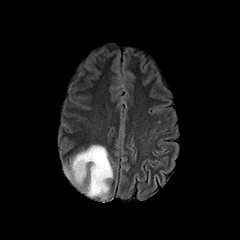
FLAIR magnetic resonance.
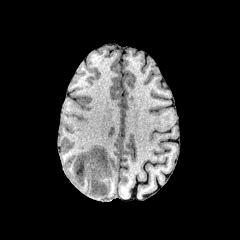
Same slice, T1-weighted MRI.
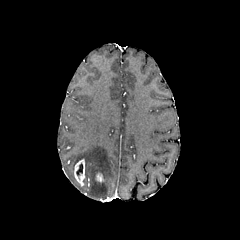
Post-contrast T1-weighted magnetic resonance of the same slice.
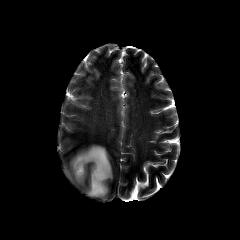
T2-weighted MR.
Axial view | Head | 240x240
Findings:
* enhancing tumor: (left=95, top=171, right=103, bottom=182), (left=74, top=159, right=84, bottom=185)
* necrotic tumor core: (left=76, top=163, right=82, bottom=179)
* peritumoral edema: (left=65, top=145, right=113, bottom=198)